FLAIR MR.
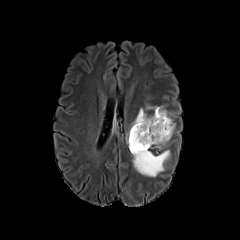
T1-weighted MR.
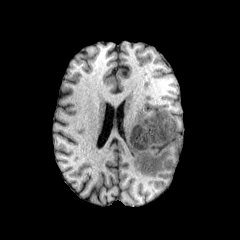
Post-contrast T1-weighted magnetic resonance.
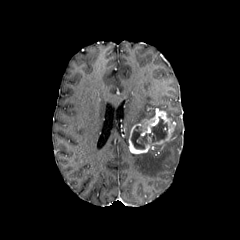
T2-weighted MR image.
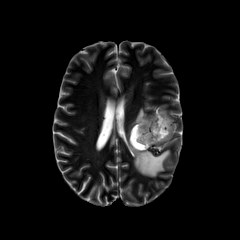
Axial plane
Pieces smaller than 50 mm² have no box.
peritumoral_edema:
  - x1=132 y1=108 x2=153 y2=126
  - x1=133 y1=150 x2=169 y2=176
enhancing_tumor:
  - x1=128 y1=108 x2=174 y2=153
necrotic_tumor_core:
  - x1=151 y1=117 x2=167 y2=142
  - x1=131 y1=126 x2=151 y2=149